FLAIR MR.
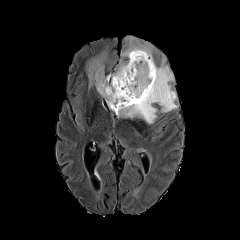
T1-weighted MR image.
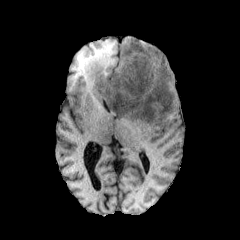
Post-contrast T1-weighted MR.
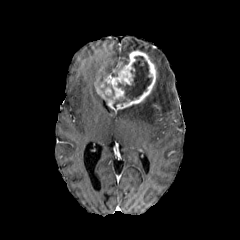
T2-weighted magnetic resonance.
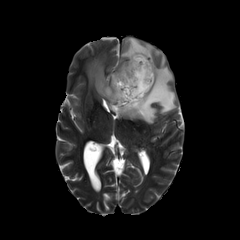
240x240; Axial slice
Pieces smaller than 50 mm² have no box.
• enhancing tumor: box(95, 50, 156, 112)
• necrotic tumor core: box(113, 56, 152, 108)
• peritumoral edema: box(121, 36, 154, 63); box(83, 48, 106, 92); box(116, 53, 178, 124)